Image covers 240 mm x 240 mm; Head; 240x240
FLAIR magnetic resonance.
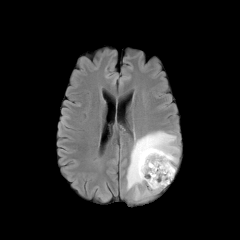
T1-weighted MR.
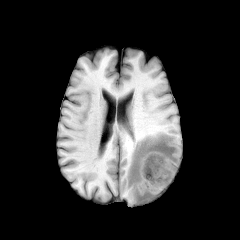
Post-contrast T1-weighted MR.
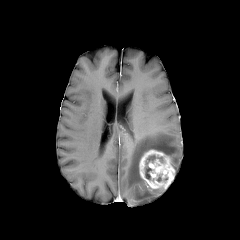
T2-weighted MR image.
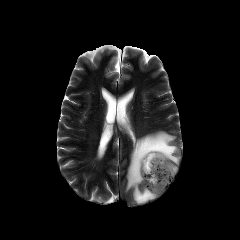
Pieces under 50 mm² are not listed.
enhancing tumor — x1=139 y1=149 x2=175 y2=189
peritumoral edema — x1=126 y1=131 x2=180 y2=203
necrotic tumor core — x1=145 y1=166 x2=151 y2=179, x1=146 y1=155 x2=155 y2=164